FLAIR MR image.
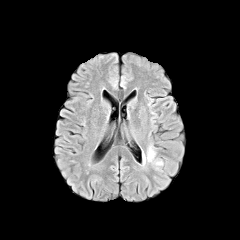
T1-weighted MRI.
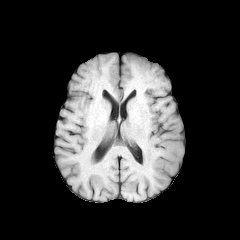
Post-contrast T1-weighted MR image.
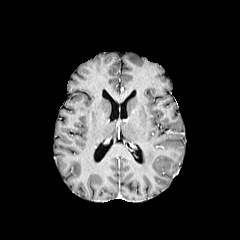
T2-weighted magnetic resonance.
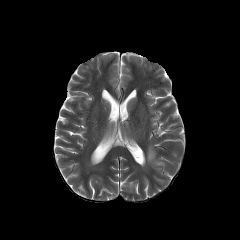
Axial slice
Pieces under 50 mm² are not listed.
peritumoral edema — (147, 146, 155, 161)